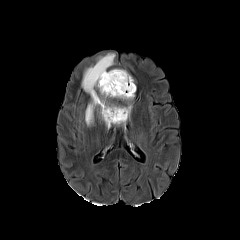
FLAIR MR image.
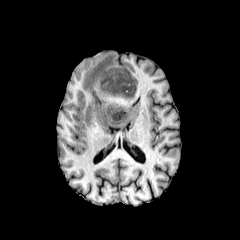
T1-weighted MR.
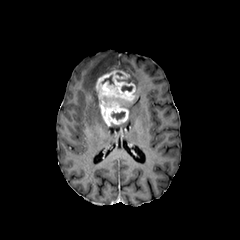
Post-contrast T1-weighted MR image.
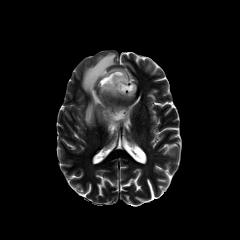
Same slice, T2-weighted MR.
Brain, Image size 240x240
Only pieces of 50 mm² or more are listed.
The 3 largest necrotic tumor core regions are located at (121, 86, 132, 91), (112, 112, 124, 119), (102, 75, 113, 84). The enhancing tumor appears at (96, 70, 135, 126). The largest peritumoral edema region lies within (82, 53, 115, 125).